FLAIR magnetic resonance.
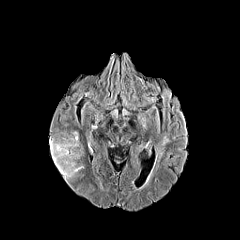
T1-weighted MR image.
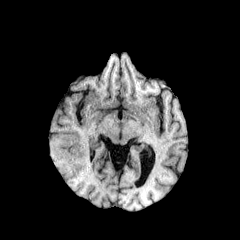
Post-contrast T1-weighted MRI.
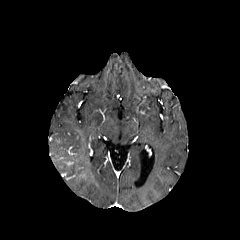
T2-weighted MR image.
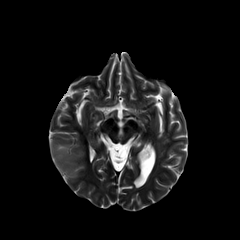
240x240 px
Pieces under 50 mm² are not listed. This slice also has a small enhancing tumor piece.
The peritumoral edema lies within {"x1": 50, "y1": 132, "x2": 83, "y2": 175}.